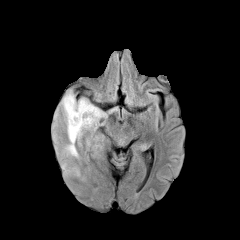
FLAIR MRI.
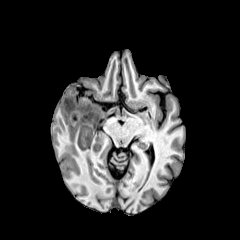
T1-weighted MR.
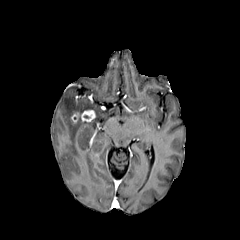
Post-contrast T1-weighted MRI.
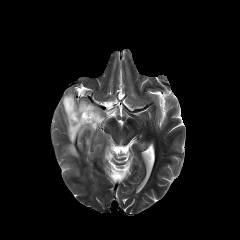
T2-weighted MRI.
Head
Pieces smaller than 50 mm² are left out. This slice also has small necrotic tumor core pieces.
The 3 largest peritumoral edema regions are bounded by (61, 162, 79, 175), (60, 90, 106, 158), (93, 142, 102, 152). The enhancing tumor lies within (71, 110, 95, 123).